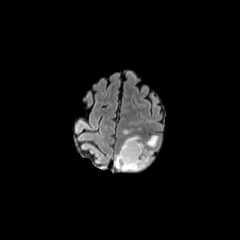
FLAIR MR.
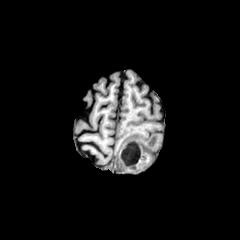
T1-weighted MR.
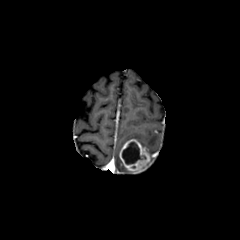
Post-contrast T1-weighted magnetic resonance.
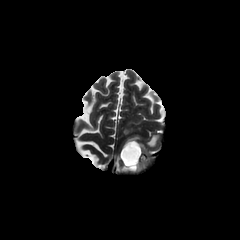
T2-weighted MR.
Axial slice; 240x240 px; Head
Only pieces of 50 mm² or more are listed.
enhancing tumor: 119 138 150 172 | peritumoral edema: 115 153 126 171, 146 135 158 147 | necrotic tumor core: 122 142 146 164